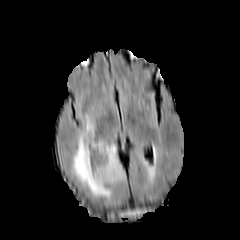
FLAIR MR image.
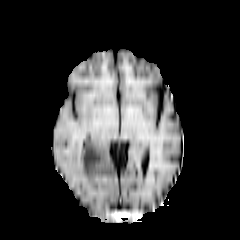
Same slice, T1-weighted MRI.
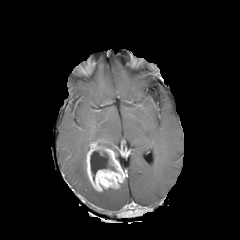
Same slice, post-contrast T1-weighted magnetic resonance.
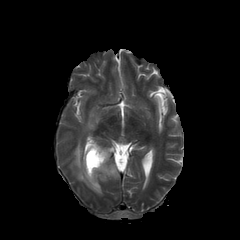
T2-weighted MRI.
240x240, Axial plane
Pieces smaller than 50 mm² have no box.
necrotic tumor core: (90, 151, 110, 181) | peritumoral edema: (72, 115, 111, 198) | enhancing tumor: (85, 140, 125, 191)